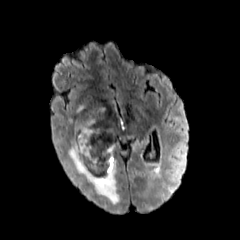
FLAIR MR.
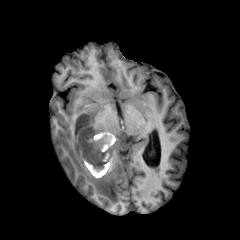
T1-weighted MR of the same slice.
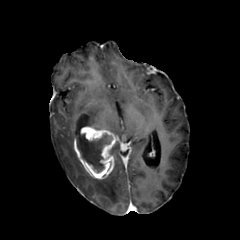
Same slice, post-contrast T1-weighted magnetic resonance.
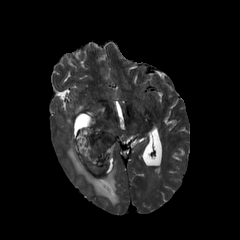
Same slice, T2-weighted magnetic resonance.
Axial plane.
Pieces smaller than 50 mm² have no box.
enhancing tumor — l=74, t=126, r=115, b=179
peritumoral edema — l=68, t=141, r=119, b=204
necrotic tumor core — l=77, t=133, r=113, b=172